FLAIR magnetic resonance.
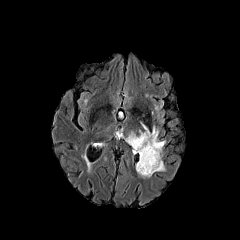
T1-weighted MR image.
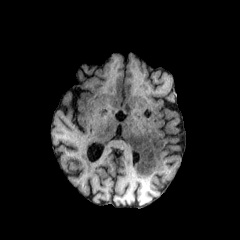
Post-contrast T1-weighted MR.
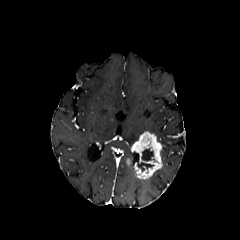
T2-weighted MR.
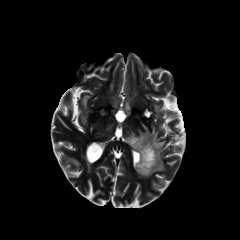
Axial plane.
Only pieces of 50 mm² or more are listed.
The largest peritumoral edema region is located at [125, 131, 139, 146]. The largest enhancing tumor region lies within [131, 131, 162, 179]. 2 necrotic tumor core regions are bounded by [142, 148, 153, 161], [137, 162, 153, 171].